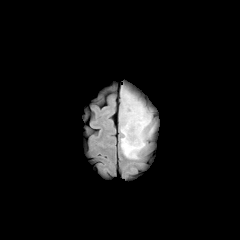
FLAIR MRI.
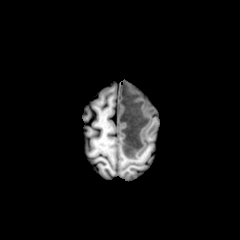
Same slice, T1-weighted MRI.
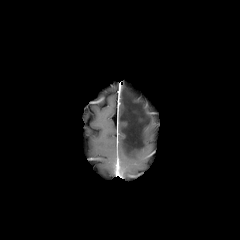
Post-contrast T1-weighted MR image of the same slice.
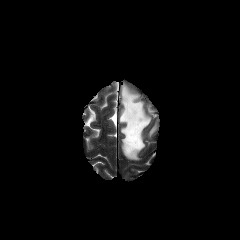
Same slice, T2-weighted MR.
Head
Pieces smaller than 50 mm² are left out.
The largest peritumoral edema region is bounded by (x1=120, y1=90, x2=150, y2=159).